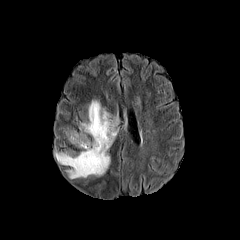
FLAIR MR image.
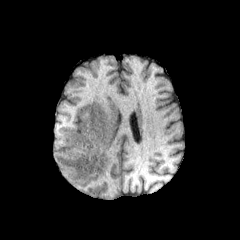
T1-weighted MR image.
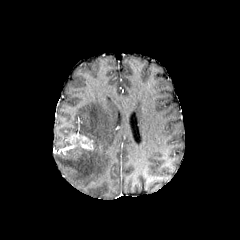
Post-contrast T1-weighted MRI of the same slice.
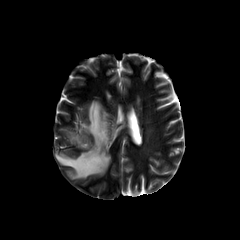
T2-weighted MR image.
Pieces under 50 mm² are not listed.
peritumoral edema at region(54, 99, 119, 178)
enhancing tumor at region(68, 133, 93, 149)